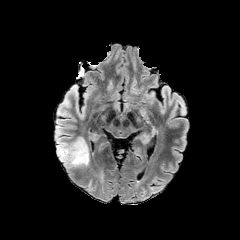
FLAIR MR image.
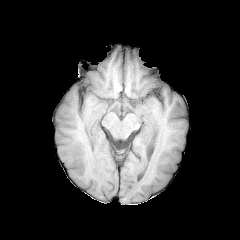
T1-weighted MRI.
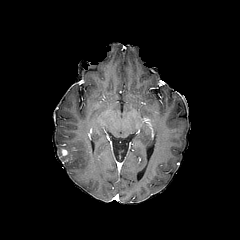
Post-contrast T1-weighted MRI.
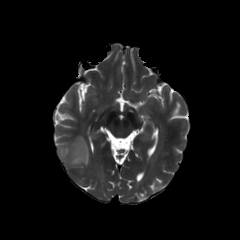
Same slice, T2-weighted MRI.
Image size 240x240, Axial slice
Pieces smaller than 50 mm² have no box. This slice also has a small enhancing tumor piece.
<segmentation>
  <peritumoral_edema>box(57, 137, 89, 167)</peritumoral_edema>
</segmentation>